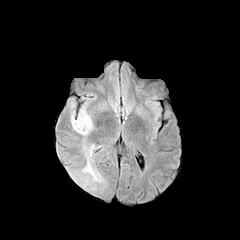
FLAIR MR.
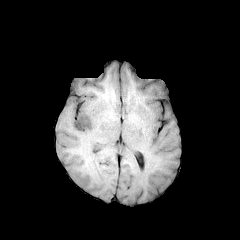
T1-weighted magnetic resonance of the same slice.
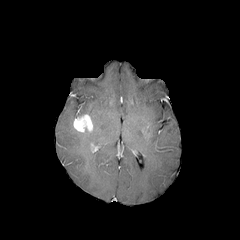
Post-contrast T1-weighted magnetic resonance.
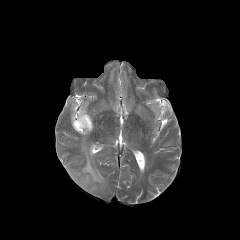
Same slice, T2-weighted MR.
Axial plane, 240x240 px
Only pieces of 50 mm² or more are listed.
peritumoral edema: bounding box rect(74, 139, 105, 190); rect(71, 103, 90, 136); rect(78, 104, 92, 121)
enhancing tumor: bounding box rect(73, 114, 92, 132)